Image width 240 mm | Head
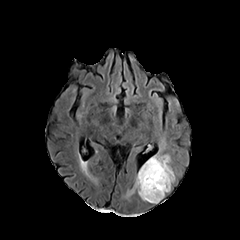
FLAIR MR.
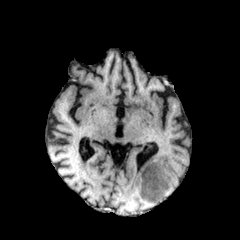
T1-weighted MR of the same slice.
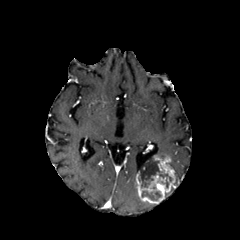
Post-contrast T1-weighted MRI.
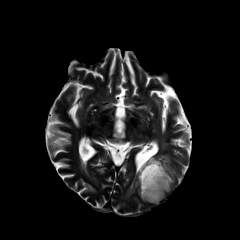
T2-weighted MR.
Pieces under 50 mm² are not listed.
peritumoral edema: bounding box <box>126,183,136,196</box>, <box>157,138,170,157</box>
enhancing tumor: bounding box <box>136,155,175,203</box>
necrotic tumor core: bounding box <box>159,173,171,187</box>, <box>142,191,161,200</box>, <box>138,160,159,187</box>